FLAIR MRI.
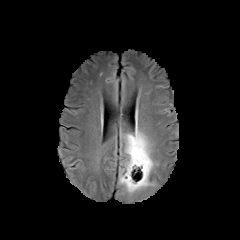
T1-weighted MR image.
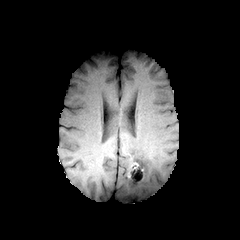
Post-contrast T1-weighted MRI.
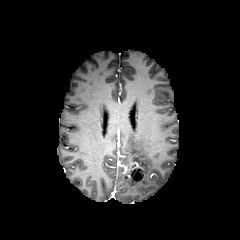
T2-weighted MRI.
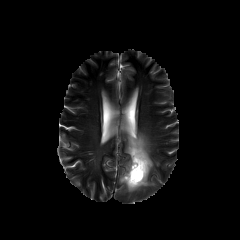
Axial plane | Brain
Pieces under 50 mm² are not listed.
necrotic tumor core — region(131, 169, 142, 180)
enhancing tumor — region(125, 163, 144, 183)
peritumoral edema — region(119, 130, 155, 193)